Slice 34 of 155. Head. Image width 240 mm, 1.00 mm slice spacing. Axial slice.
FLAIR magnetic resonance.
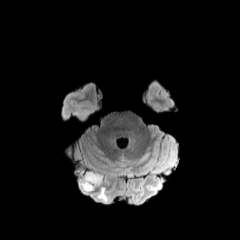
T1-weighted magnetic resonance.
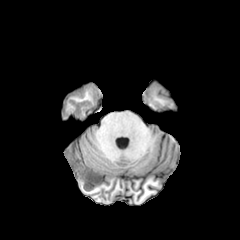
Post-contrast T1-weighted MRI.
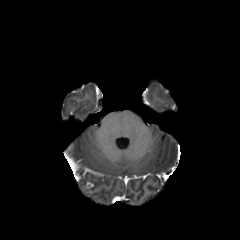
T2-weighted MR.
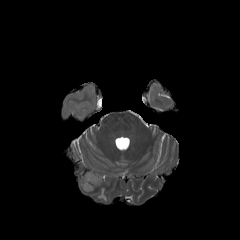
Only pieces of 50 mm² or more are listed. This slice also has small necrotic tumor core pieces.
Annotated regions:
- enhancing tumor: 84,168,102,188
- peritumoral edema: 98,187,107,201; 77,168,94,191